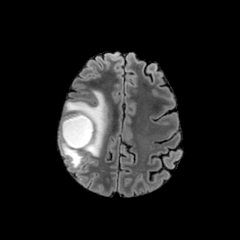
FLAIR MR image.
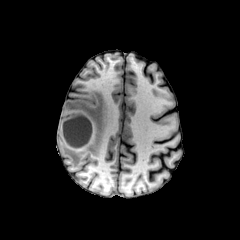
T1-weighted MRI of the same slice.
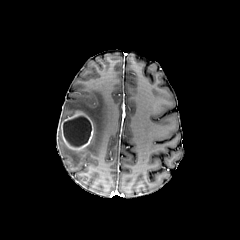
Same slice, post-contrast T1-weighted magnetic resonance.
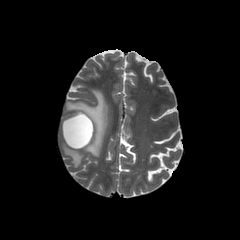
T2-weighted MR image.
Axial slice
The necrotic tumor core appears at 63, 116, 91, 147. The enhancing tumor is located at 60, 110, 93, 150. The peritumoral edema is bounded by 59, 90, 107, 167.